FLAIR magnetic resonance.
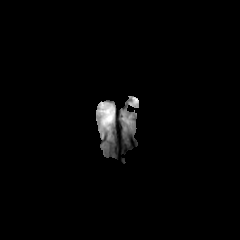
T1-weighted MR image.
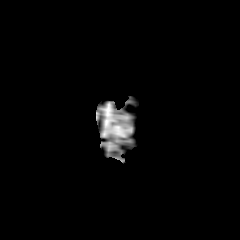
Post-contrast T1-weighted magnetic resonance.
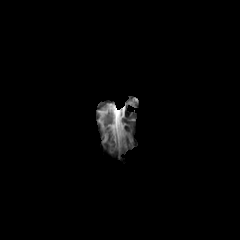
T2-weighted magnetic resonance.
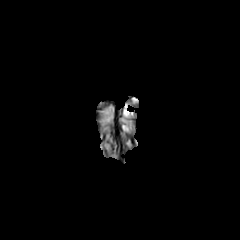
240x240 | Brain | Axial view
<segmentation>
  <peritumoral_edema><box>102,107,113,124</box></peritumoral_edema>
</segmentation>